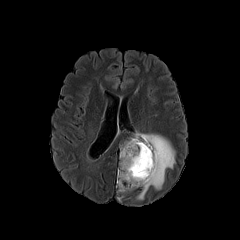
FLAIR MR.
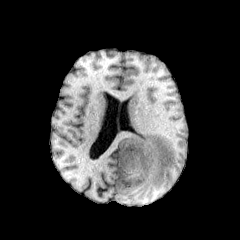
Same slice, T1-weighted MRI.
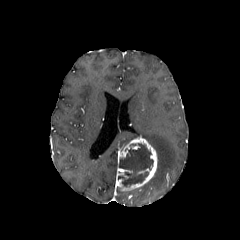
Post-contrast T1-weighted MR image.
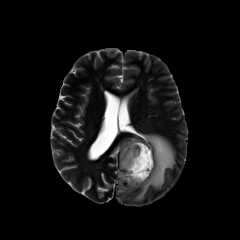
T2-weighted MR image of the same slice.
Brain, Axial view, 240x240 px
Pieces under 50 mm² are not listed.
The largest peritumoral edema region is at x1=120 y1=133 x2=175 y2=199. The enhancing tumor is bounded by x1=116 y1=136 x2=157 y2=191. The largest necrotic tumor core region is located at x1=118 y1=143 x2=153 y2=186.